FLAIR MRI.
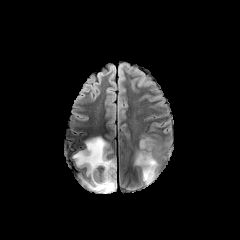
T1-weighted magnetic resonance.
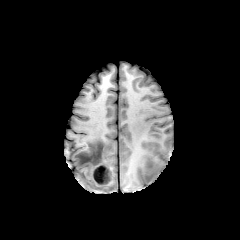
Post-contrast T1-weighted MR.
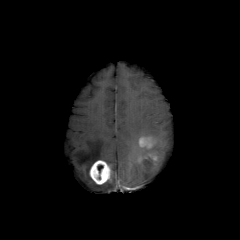
T2-weighted MR image.
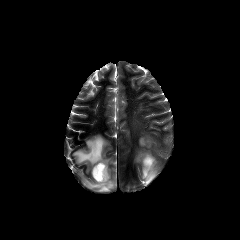
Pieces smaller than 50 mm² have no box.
<segmentation>
  <enhancing_tumor>[89,160,111,184], [138,154,156,172], [139,138,153,148]</enhancing_tumor>
  <peritumoral_edema>[142,159,159,185], [135,147,153,165], [73,136,116,193]</peritumoral_edema>
  <necrotic_tumor_core>[142,156,154,171]</necrotic_tumor_core>
</segmentation>